Image width 240 mm, 1.00 mm slice spacing.
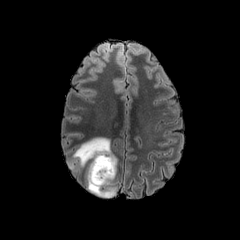
FLAIR MR.
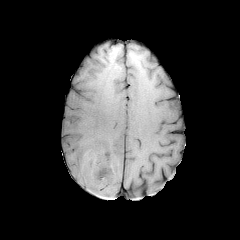
T1-weighted MR image of the same slice.
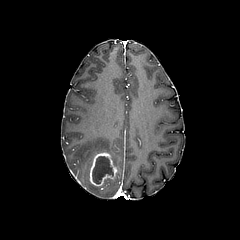
Post-contrast T1-weighted MRI.
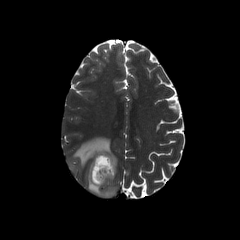
T2-weighted MRI.
peritumoral_edema:
  - <box>68,137,117,197</box>
necrotic_tumor_core:
  - <box>92,156,113,183</box>
enhancing_tumor:
  - <box>85,151,117,186</box>